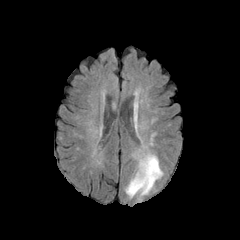
FLAIR MRI.
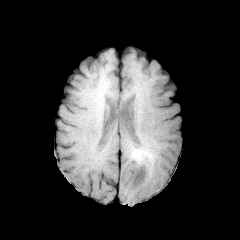
Same slice, T1-weighted MRI.
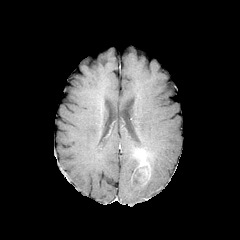
Post-contrast T1-weighted MR.
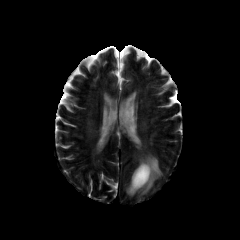
T2-weighted MR image.
240x240 px
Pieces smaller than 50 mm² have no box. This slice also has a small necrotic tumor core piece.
Annotated regions:
- peritumoral edema: <bbox>125, 149, 163, 200</bbox>, <bbox>133, 154, 141, 168</bbox>
- enhancing tumor: <bbox>136, 153, 150, 184</bbox>